FLAIR MR image.
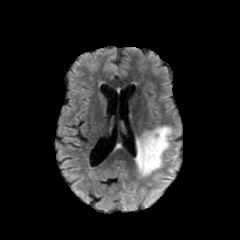
T1-weighted MR image.
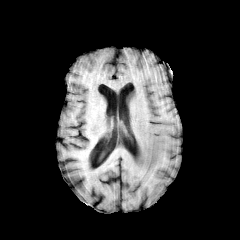
Post-contrast T1-weighted MR image.
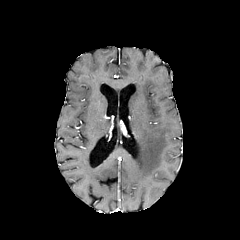
T2-weighted MR.
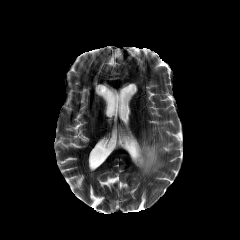
peritumoral edema: bounding box bbox(135, 125, 171, 176)